240x240. Image width 240 mm, 1.00 mm slice spacing. Slice 92 of 155. Brain. Axial plane.
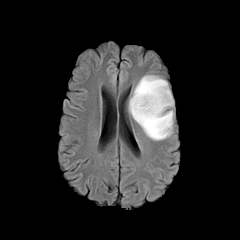
FLAIR MRI.
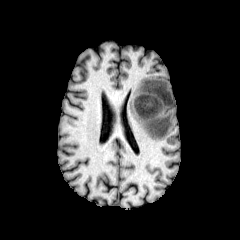
T1-weighted magnetic resonance.
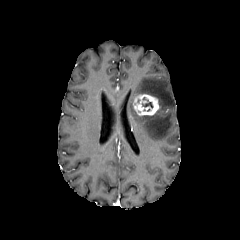
Post-contrast T1-weighted magnetic resonance.
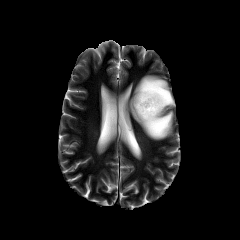
T2-weighted MRI.
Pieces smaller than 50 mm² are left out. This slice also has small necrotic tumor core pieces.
peritumoral edema: bounding box 129 75 173 140
enhancing tumor: bounding box 133 94 160 116